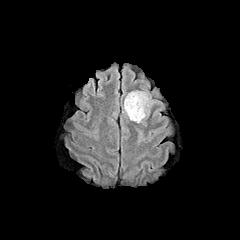
FLAIR MR image.
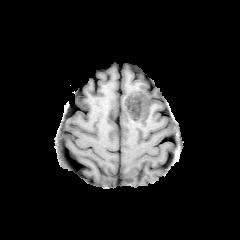
T1-weighted MRI of the same slice.
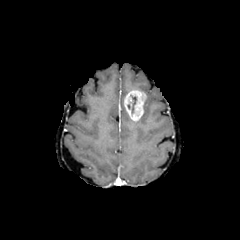
Post-contrast T1-weighted MR.
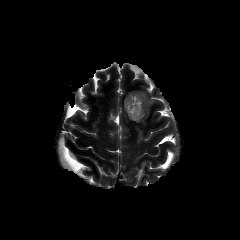
T2-weighted MRI of the same slice.
Axial plane. 240x240 px.
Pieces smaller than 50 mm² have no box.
peritumoral edema = 134 91 154 122
enhancing tumor = 124 90 146 120
necrotic tumor core = 131 95 136 113